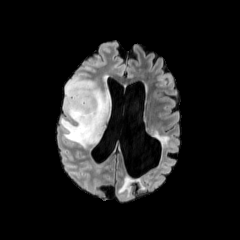
FLAIR MR image.
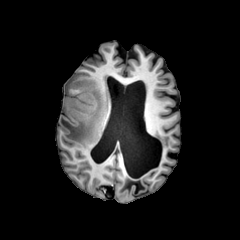
T1-weighted MRI of the same slice.
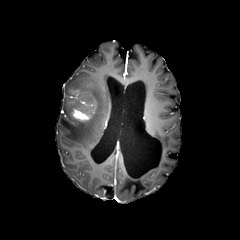
Post-contrast T1-weighted MRI.
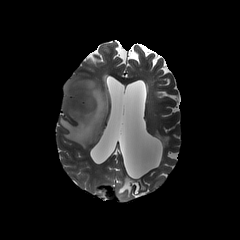
T2-weighted MRI.
Brain. Axial view.
<segmentation>
  <peritumoral_edema>bbox(60, 77, 110, 147)</peritumoral_edema>
  <enhancing_tumor>bbox(70, 92, 94, 121)</enhancing_tumor>
</segmentation>